FLAIR magnetic resonance.
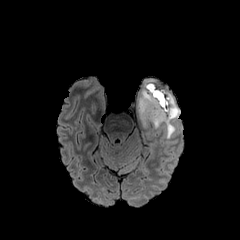
T1-weighted MRI.
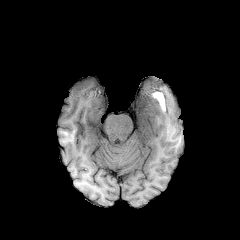
Post-contrast T1-weighted magnetic resonance.
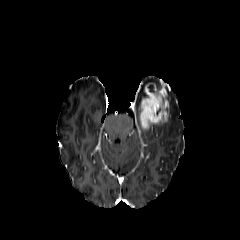
T2-weighted MR.
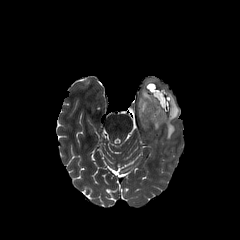
Axial plane
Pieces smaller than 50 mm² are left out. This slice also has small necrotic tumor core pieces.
The 2 largest peritumoral edema regions are located at (152,93,179,138), (138,88,144,107). The enhancing tumor is located at (138,81,168,129).